Slice 38/155; Brain; Image covers 240 mm x 240 mm
FLAIR MRI.
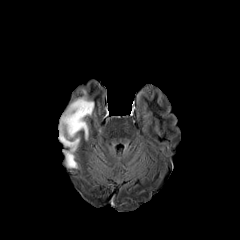
T1-weighted magnetic resonance.
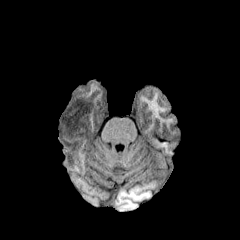
Post-contrast T1-weighted magnetic resonance.
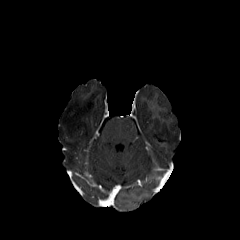
T2-weighted magnetic resonance.
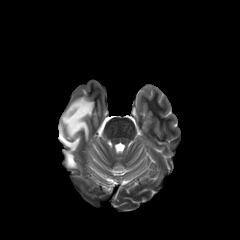
Findings:
- peritumoral edema: (x1=59, y1=90, x2=94, y2=167)